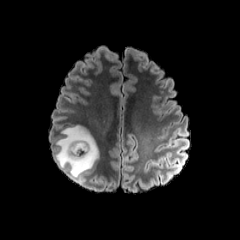
FLAIR MRI.
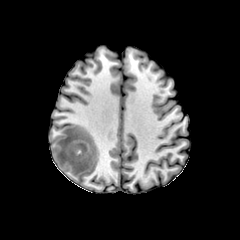
T1-weighted MR image.
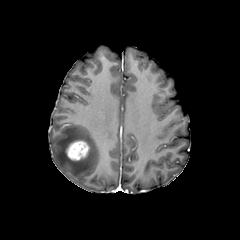
Post-contrast T1-weighted MR of the same slice.
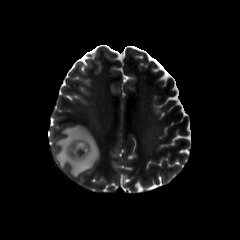
Same slice, T2-weighted magnetic resonance.
Axial view; Image size 240x240; Brain
{"peritumoral_edema": ["<bbox>54, 125, 99, 179</bbox>"], "enhancing_tumor": ["<bbox>65, 140, 89, 160</bbox>"]}